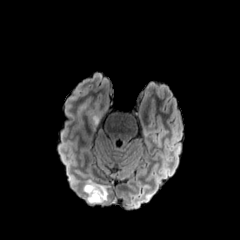
FLAIR MR image.
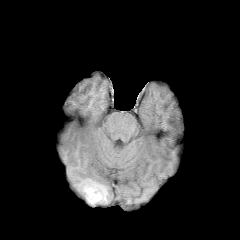
T1-weighted magnetic resonance.
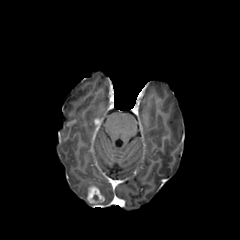
Post-contrast T1-weighted MR.
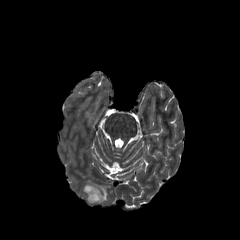
T2-weighted MRI of the same slice.
Image size 240x240 | Brain
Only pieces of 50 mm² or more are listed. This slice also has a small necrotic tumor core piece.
The largest peritumoral edema region lies within l=82, t=179, r=108, b=203. The largest enhancing tumor region appears at l=87, t=185, r=104, b=204.